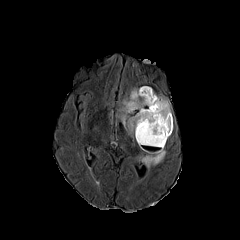
FLAIR MRI.
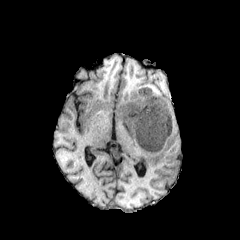
T1-weighted magnetic resonance.
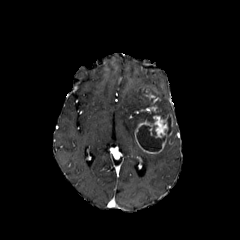
Post-contrast T1-weighted magnetic resonance.
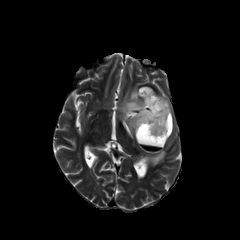
T2-weighted magnetic resonance.
Axial plane; 240x240; Brain
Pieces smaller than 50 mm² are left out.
The 2 largest peritumoral edema regions are located at l=143, t=149, r=165, b=167; l=120, t=86, r=171, b=136. The 2 largest necrotic tumor core regions are bounded by l=137, t=125, r=165, b=151; l=167, t=115, r=171, b=134. 3 enhancing tumor regions are bounded by l=144, t=89, r=157, b=104; l=149, t=105, r=158, b=113; l=135, t=114, r=172, b=153.